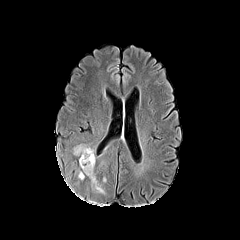
FLAIR magnetic resonance.
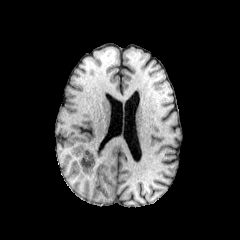
T1-weighted MR of the same slice.
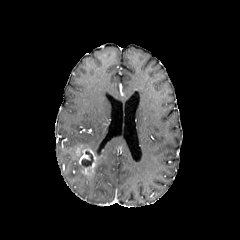
Post-contrast T1-weighted MR.
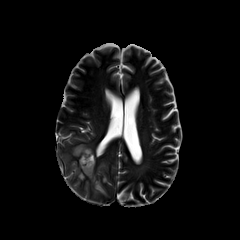
T2-weighted MR of the same slice.
Brain
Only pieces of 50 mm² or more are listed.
The largest necrotic tumor core region lies within l=81, t=151, r=93, b=166. The enhancing tumor is located at l=76, t=145, r=96, b=174. The largest peritumoral edema region is at l=87, t=174, r=104, b=193.